FLAIR MR image.
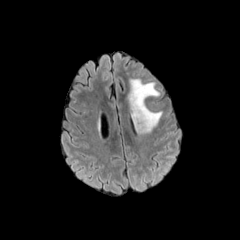
T1-weighted MR image.
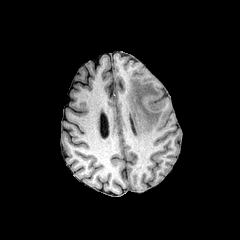
Post-contrast T1-weighted MRI.
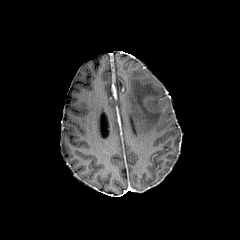
T2-weighted MRI.
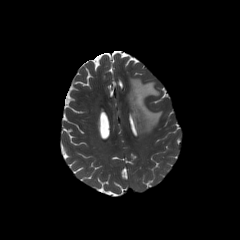
Axial plane.
Annotated regions:
* peritumoral edema: left=128, top=78, right=162, bottom=133